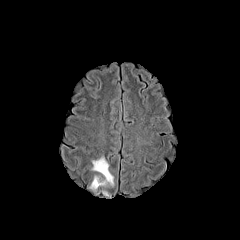
FLAIR MR.
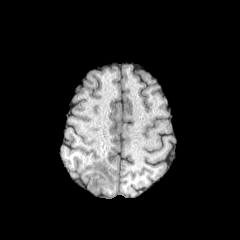
T1-weighted MRI.
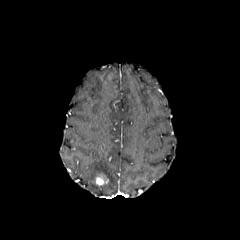
Post-contrast T1-weighted MR image of the same slice.
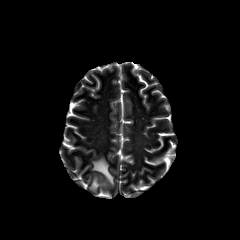
Same slice, T2-weighted magnetic resonance.
Brain, Axial slice
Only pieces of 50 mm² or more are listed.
peritumoral_edema:
  - (left=89, top=156, right=114, bottom=191)
enhancing_tumor:
  - (left=95, top=174, right=108, bottom=185)